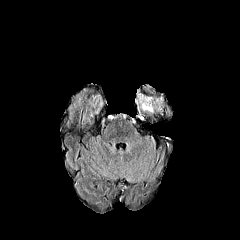
FLAIR MR image.
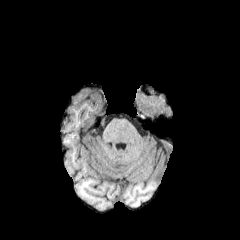
T1-weighted MRI.
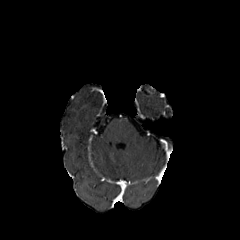
Post-contrast T1-weighted magnetic resonance.
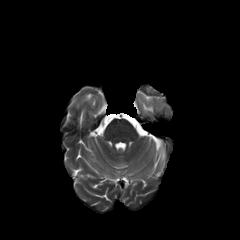
T2-weighted magnetic resonance.
Axial plane | Head
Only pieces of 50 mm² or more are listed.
The largest peritumoral edema region lies within [142,103,152,111].